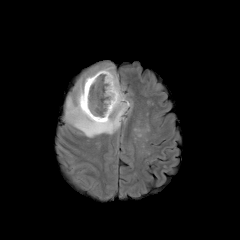
FLAIR MR.
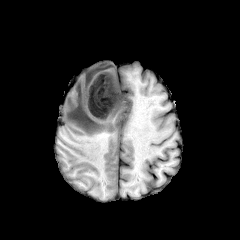
T1-weighted magnetic resonance.
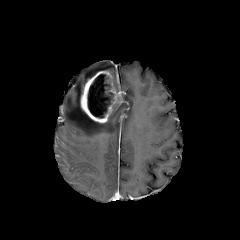
Same slice, post-contrast T1-weighted MR image.
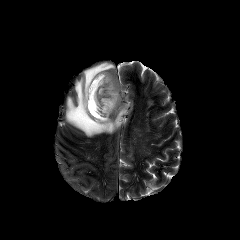
T2-weighted MR image.
Head
enhancing tumor — [80, 70, 123, 122]
peritumoral edema — [63, 62, 131, 137]
necrotic tumor core — [88, 74, 109, 118]